Brain | Slice 117 of 155
FLAIR MR.
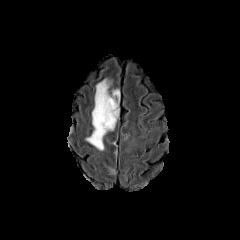
T1-weighted MR image.
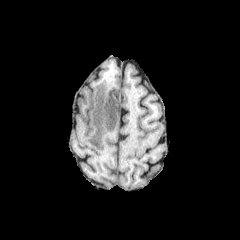
Post-contrast T1-weighted MR image.
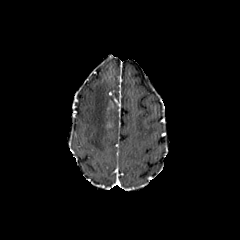
T2-weighted MR image.
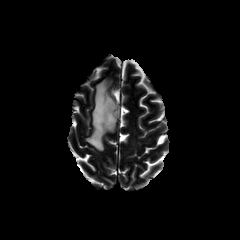
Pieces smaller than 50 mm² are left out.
enhancing tumor = rect(107, 101, 115, 113)
necrotic tumor core = rect(107, 99, 118, 122)
peritumoral edema = rect(86, 79, 119, 150)